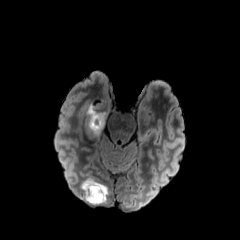
FLAIR MRI.
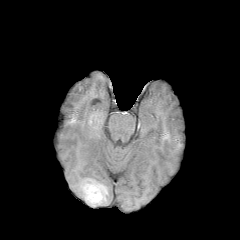
Same slice, T1-weighted MRI.
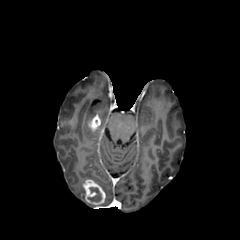
Post-contrast T1-weighted MR.
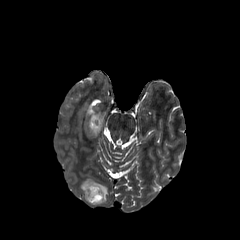
T2-weighted MRI.
Axial view
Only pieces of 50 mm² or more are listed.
{
  "peritumoral_edema": [
    "box=[87, 104, 106, 136]",
    "box=[88, 178, 108, 205]"
  ],
  "necrotic_tumor_core": [
    "box=[88, 187, 101, 201]"
  ],
  "enhancing_tumor": [
    "box=[83, 179, 105, 205]",
    "box=[88, 115, 100, 131]"
  ]
}